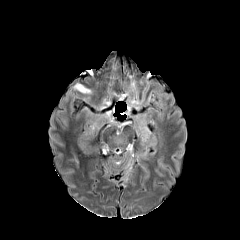
FLAIR MRI.
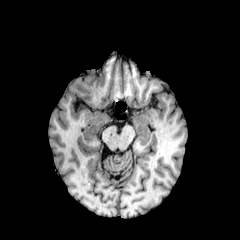
Same slice, T1-weighted MRI.
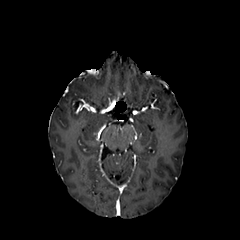
Same slice, post-contrast T1-weighted MRI.
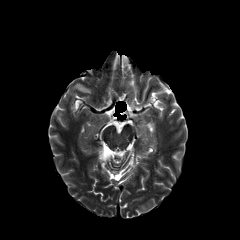
Same slice, T2-weighted MRI.
Brain
peritumoral edema: 74 83 90 93